Image size 240x240
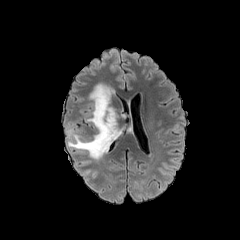
FLAIR magnetic resonance.
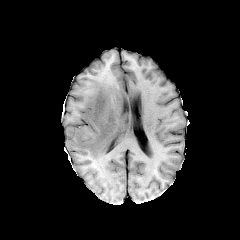
T1-weighted MR.
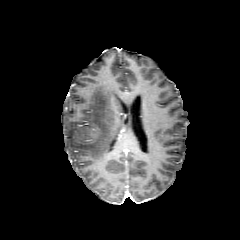
Same slice, post-contrast T1-weighted MRI.
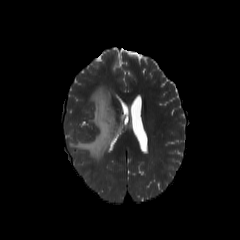
T2-weighted magnetic resonance of the same slice.
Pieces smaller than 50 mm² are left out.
peritumoral edema: 67, 83, 120, 160